Image width 240 mm, Image size 240x240
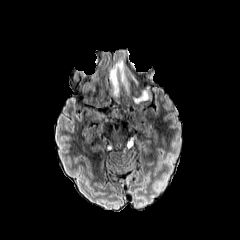
FLAIR magnetic resonance.
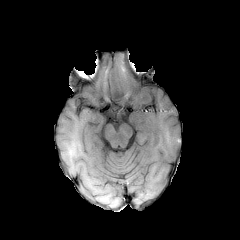
Same slice, T1-weighted MR image.
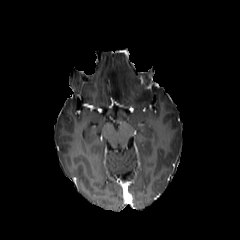
Post-contrast T1-weighted magnetic resonance of the same slice.
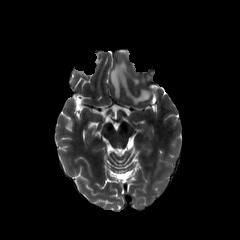
T2-weighted MR image.
peritumoral edema — box=[134, 90, 149, 103]; box=[110, 61, 126, 95]